Image width 240 mm
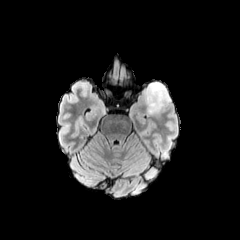
FLAIR MR.
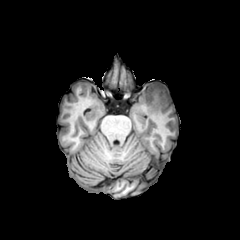
T1-weighted magnetic resonance.
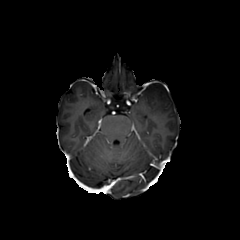
Post-contrast T1-weighted MR image.
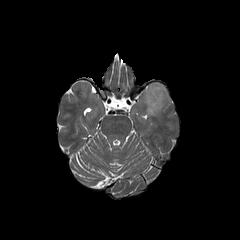
T2-weighted MR of the same slice.
The peritumoral edema is bounded by bbox(145, 82, 171, 115).